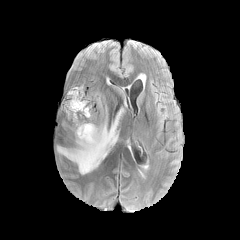
FLAIR MRI.
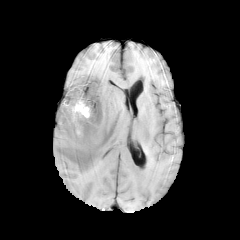
T1-weighted magnetic resonance.
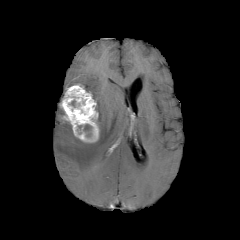
Post-contrast T1-weighted MR image of the same slice.
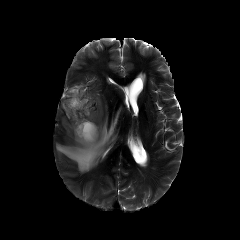
Same slice, T2-weighted MRI.
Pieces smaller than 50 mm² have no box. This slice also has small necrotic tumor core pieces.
enhancing tumor at l=61, t=84, r=99, b=142
peritumoral edema at l=56, t=108, r=121, b=174; l=93, t=93, r=101, b=108